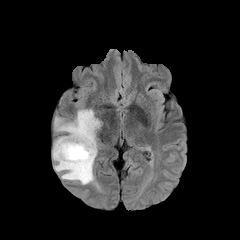
FLAIR MRI.
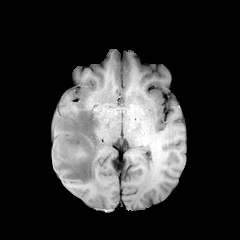
T1-weighted MR image of the same slice.
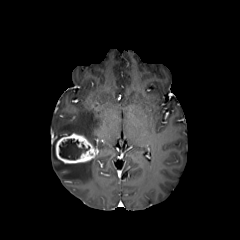
Post-contrast T1-weighted magnetic resonance.
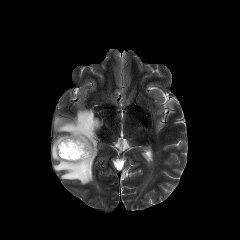
T2-weighted magnetic resonance.
Brain.
enhancing tumor: region(55, 133, 97, 163) | peritumoral edema: region(54, 109, 101, 148); region(52, 137, 94, 184) | necrotic tumor core: region(59, 139, 89, 159)